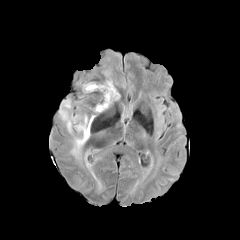
FLAIR MR image.
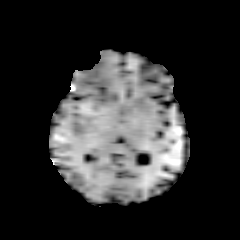
T1-weighted MR image of the same slice.
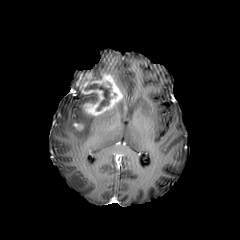
Same slice, post-contrast T1-weighted MR image.
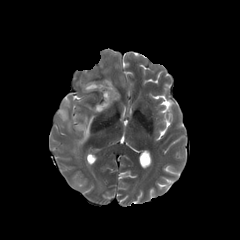
T2-weighted MR image.
240x240; Axial view
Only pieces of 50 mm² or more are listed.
necrotic tumor core: bounding box box(85, 84, 109, 110)
enhancing tumor: bounding box box(76, 71, 122, 116); box(74, 123, 83, 130)
peritumoral edema: bounding box box(59, 99, 94, 155)